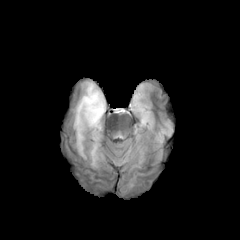
FLAIR MRI.
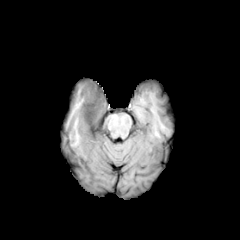
Same slice, T1-weighted MR.
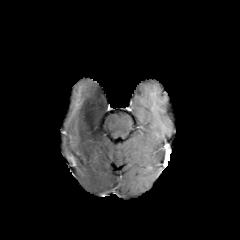
Same slice, post-contrast T1-weighted MR.
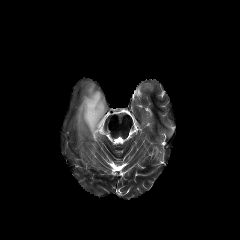
T2-weighted MRI.
Brain
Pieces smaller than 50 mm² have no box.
The necrotic tumor core is bounded by bbox=[79, 90, 104, 137]. The 2 largest peritumoral edema regions are bounded by bbox=[90, 132, 101, 164]; bbox=[74, 82, 99, 155].